Brain | Slice 92 of 155
FLAIR MR.
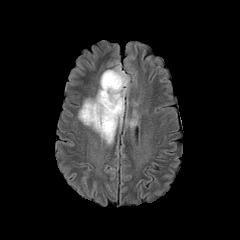
T1-weighted magnetic resonance.
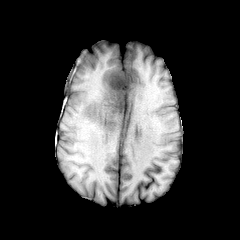
Post-contrast T1-weighted MRI.
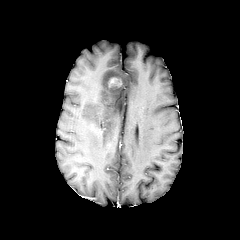
T2-weighted MR image.
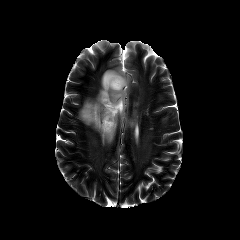
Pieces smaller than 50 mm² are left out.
The 2 largest peritumoral edema regions appear at x1=78 y1=62 x2=130 y2=144, x1=125 y1=111 x2=137 y2=127. The enhancing tumor is at x1=108 y1=76 x2=123 y2=89.